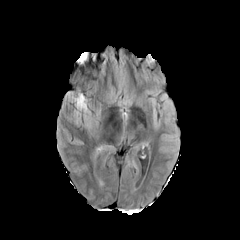
FLAIR MRI.
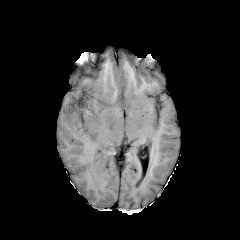
T1-weighted MR image.
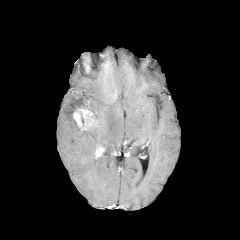
Post-contrast T1-weighted MR image.
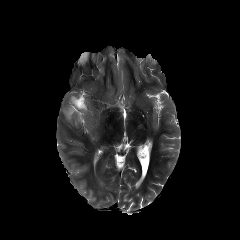
T2-weighted magnetic resonance of the same slice.
Axial view
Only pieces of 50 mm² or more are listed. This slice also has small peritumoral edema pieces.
The enhancing tumor is located at (65, 93, 94, 129). The largest necrotic tumor core region is at (67, 95, 85, 112).